Slice 57 of 155; Head
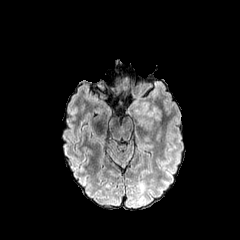
FLAIR magnetic resonance.
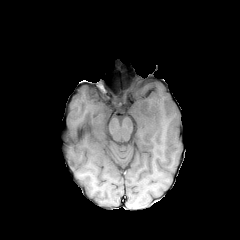
T1-weighted MR image.
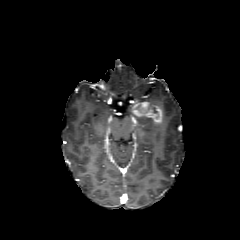
Post-contrast T1-weighted MR of the same slice.
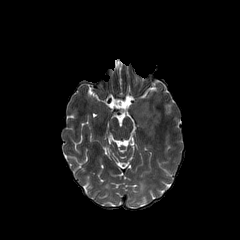
T2-weighted MR image of the same slice.
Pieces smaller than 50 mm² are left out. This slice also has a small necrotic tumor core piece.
enhancing tumor at rect(132, 101, 162, 122)